FLAIR magnetic resonance.
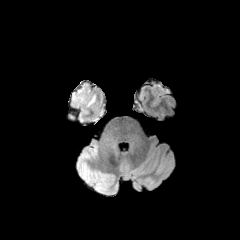
T1-weighted MR image.
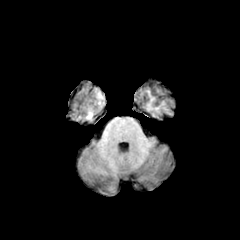
Post-contrast T1-weighted MRI.
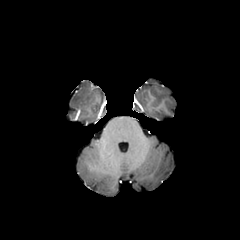
T2-weighted MR.
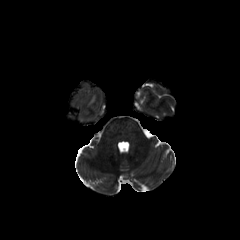
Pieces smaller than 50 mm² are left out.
{"peritumoral_edema": ["(left=73, top=88, right=86, bottom=102)"]}